Slice 71/155
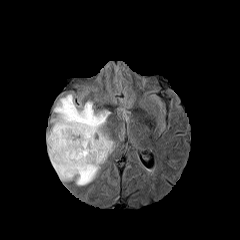
FLAIR magnetic resonance.
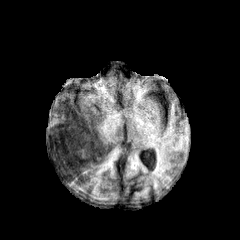
Same slice, T1-weighted magnetic resonance.
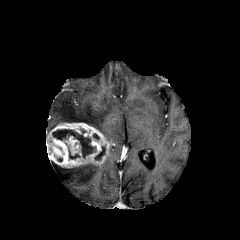
Same slice, post-contrast T1-weighted magnetic resonance.
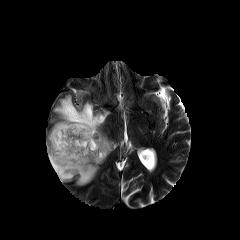
T2-weighted MRI of the same slice.
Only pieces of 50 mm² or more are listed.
The 2 largest necrotic tumor core regions are bounded by (x1=52, y1=129, x2=95, y2=157), (x1=95, y1=146, x2=105, y2=160). The enhancing tumor is located at (x1=46, y1=122, x2=112, y2=168). The 2 largest peritumoral edema regions are bounded by (x1=51, y1=94, x2=113, y2=143), (x1=51, y1=161, x2=100, y2=185).